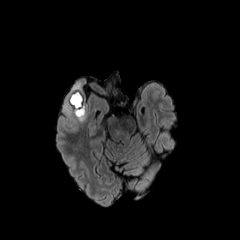
FLAIR MR image.
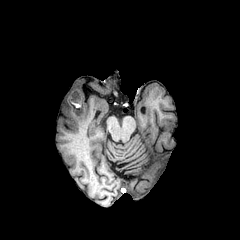
T1-weighted MRI.
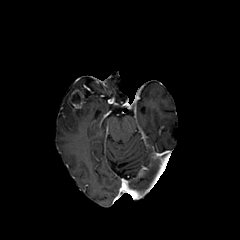
Same slice, post-contrast T1-weighted MRI.
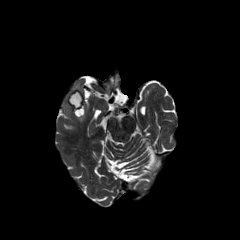
T2-weighted MRI.
240x240 px, Axial slice
{"necrotic_tumor_core": [{"x1": 71, "y1": 92, "x2": 80, "y2": 103}], "peritumoral_edema": [{"x1": 64, "y1": 103, "x2": 71, "y2": 114}, {"x1": 74, "y1": 103, "x2": 85, "y2": 121}, {"x1": 72, "y1": 83, "x2": 80, "y2": 90}], "enhancing_tumor": [{"x1": 69, "y1": 89, "x2": 83, "y2": 111}]}